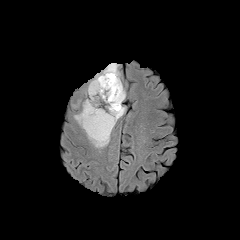
FLAIR MR image.
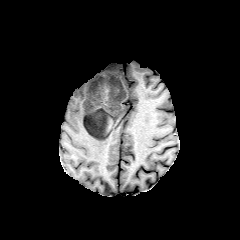
T1-weighted MRI.
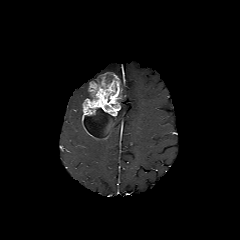
Post-contrast T1-weighted MR image of the same slice.
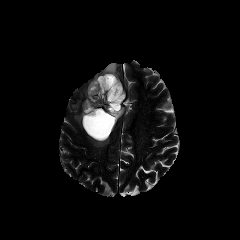
T2-weighted MRI.
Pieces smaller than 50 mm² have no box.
necrotic tumor core — {"x1": 84, "y1": 108, "x2": 115, "y2": 138}
enhancing tumor — {"x1": 82, "y1": 72, "x2": 125, "y2": 140}
peritumoral edema — {"x1": 113, "y1": 106, "x2": 125, "y2": 129}, {"x1": 74, "y1": 111, "x2": 83, "y2": 129}, {"x1": 86, "y1": 132, "x2": 111, "y2": 148}, {"x1": 92, "y1": 63, "x2": 120, "y2": 82}